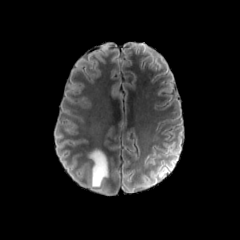
FLAIR MR image.
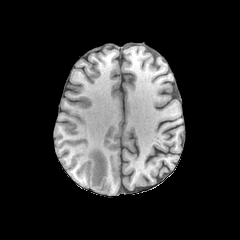
T1-weighted magnetic resonance of the same slice.
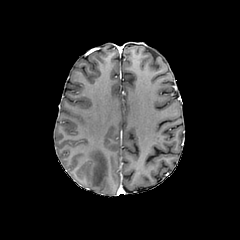
Post-contrast T1-weighted magnetic resonance.
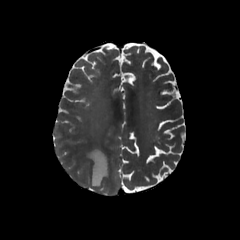
T2-weighted magnetic resonance.
Axial plane
peritumoral edema at 90, 150, 107, 186